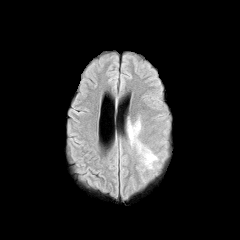
FLAIR MR.
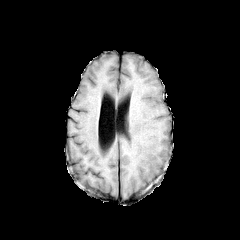
T1-weighted MRI of the same slice.
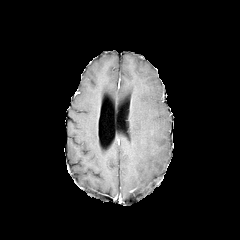
Post-contrast T1-weighted magnetic resonance.
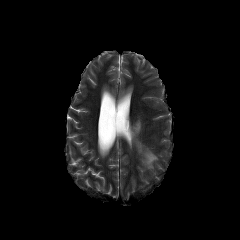
T2-weighted MR.
240x240
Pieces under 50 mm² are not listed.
The 2 largest peritumoral edema regions are located at l=128, t=122, r=140, b=142; l=145, t=151, r=157, b=168.